Slice 69/155, Brain, Axial slice
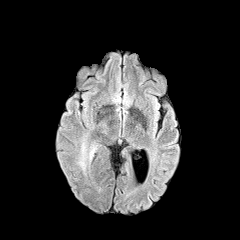
FLAIR magnetic resonance.
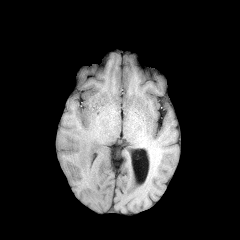
T1-weighted MRI.
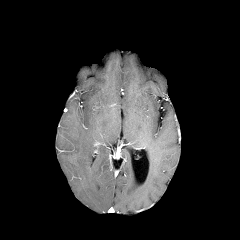
Post-contrast T1-weighted MR image of the same slice.
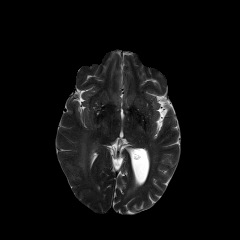
T2-weighted MRI of the same slice.
{"peritumoral_edema": ["l=78, t=138, r=98, b=172"]}